FLAIR MRI.
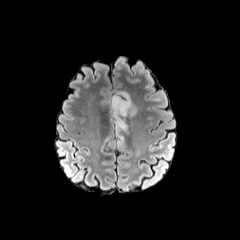
T1-weighted MR.
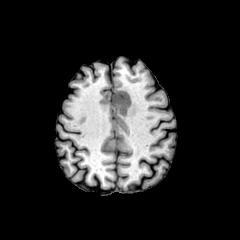
Post-contrast T1-weighted magnetic resonance.
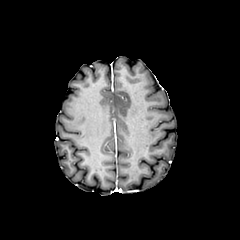
T2-weighted MRI.
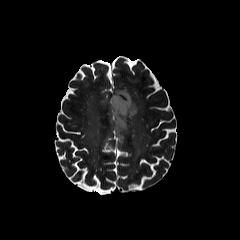
Brain. Axial view.
peritumoral_edema:
  - box=[110, 90, 136, 125]